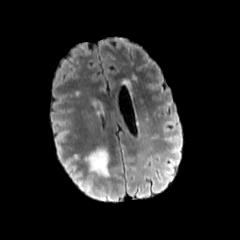
FLAIR magnetic resonance.
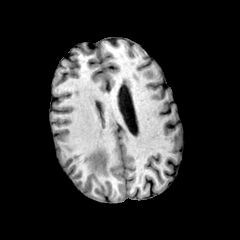
T1-weighted MRI.
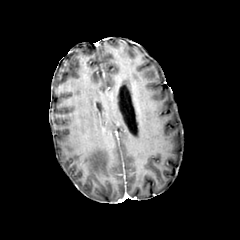
Post-contrast T1-weighted magnetic resonance of the same slice.
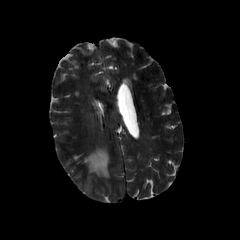
Same slice, T2-weighted MR image.
240x240 px | Head
peritumoral edema — region(85, 148, 109, 177)